Axial slice. Slice 102 of 155. Brain.
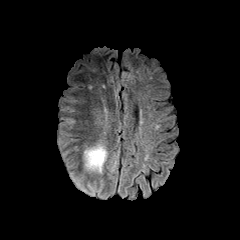
FLAIR MR image.
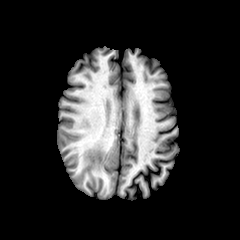
T1-weighted MR image of the same slice.
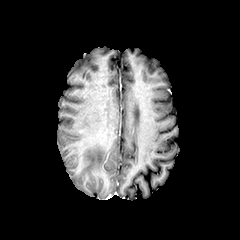
Post-contrast T1-weighted MR image.
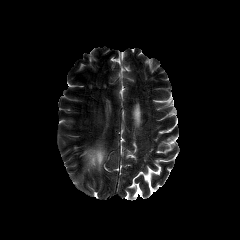
T2-weighted MR image.
peritumoral edema: (84, 144, 106, 172)